Brain; Image covers 240 mm x 240 mm
FLAIR MR image.
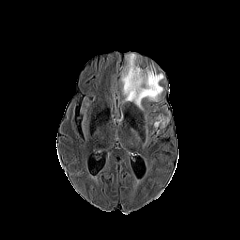
T1-weighted magnetic resonance.
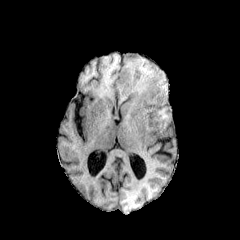
Post-contrast T1-weighted MR.
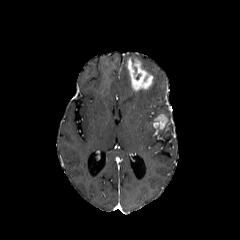
T2-weighted magnetic resonance.
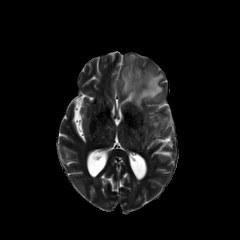
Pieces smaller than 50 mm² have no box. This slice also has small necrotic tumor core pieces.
peritumoral edema: (left=121, top=53, right=163, bottom=111) | enhancing tumor: (left=127, top=57, right=153, bottom=91), (left=153, top=114, right=167, bottom=129)